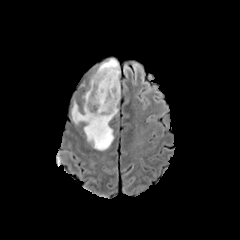
FLAIR MRI.
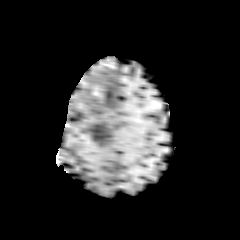
Same slice, T1-weighted MR.
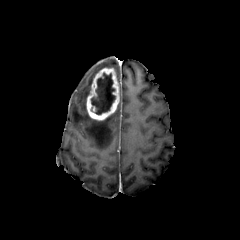
Post-contrast T1-weighted MR image.
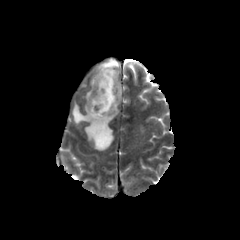
T2-weighted MRI of the same slice.
Axial plane; Brain
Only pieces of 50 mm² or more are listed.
Findings:
- necrotic tumor core: rect(91, 73, 115, 114)
- enhancing tumor: rect(86, 68, 119, 120)
- peritumoral edema: rect(97, 58, 119, 77); rect(72, 104, 117, 150)